Slice index 63; Brain
FLAIR MR image.
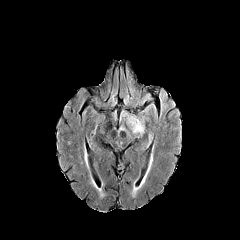
T1-weighted MRI.
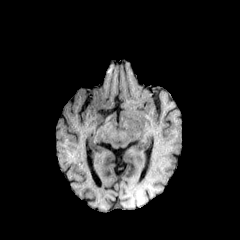
Post-contrast T1-weighted MR image.
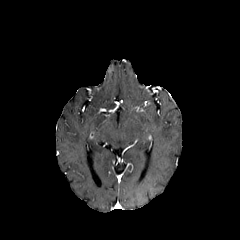
T2-weighted MR.
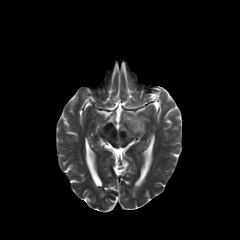
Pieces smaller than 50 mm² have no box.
{"peritumoral_edema": [{"x1": 124, "y1": 112, "x2": 144, "y2": 135}]}